Axial view; Brain
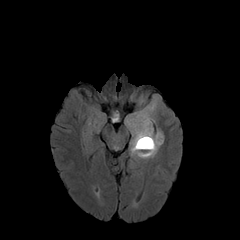
FLAIR MR.
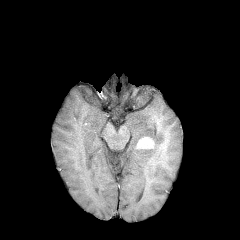
Same slice, T1-weighted magnetic resonance.
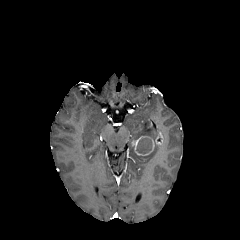
Post-contrast T1-weighted MR image of the same slice.
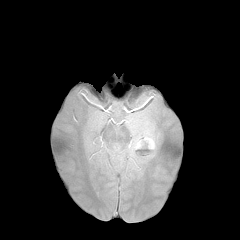
Same slice, T2-weighted MRI.
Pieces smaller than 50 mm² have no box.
enhancing tumor: 131, 132, 163, 155 | necrotic tumor core: 136, 137, 152, 154 | peritumoral edema: 125, 96, 163, 142; 130, 143, 160, 159